Brain. 240x240.
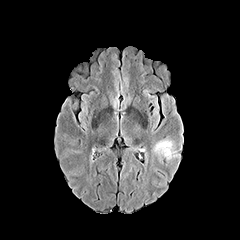
FLAIR magnetic resonance.
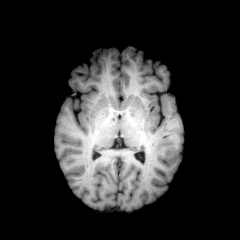
Same slice, T1-weighted MR image.
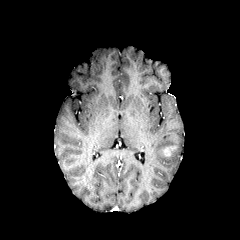
Post-contrast T1-weighted magnetic resonance of the same slice.
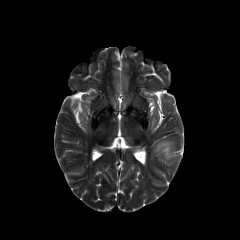
T2-weighted MRI.
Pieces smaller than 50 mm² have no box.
enhancing tumor at 162 145 174 157
peritumoral edema at 155 141 173 156